Head. Axial slice.
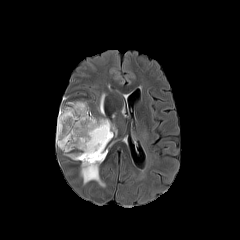
FLAIR MR.
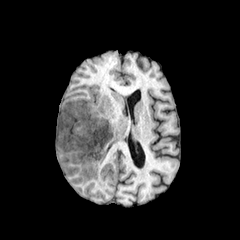
T1-weighted MR.
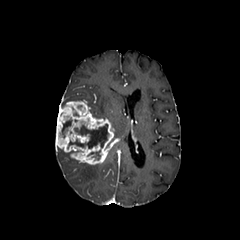
Post-contrast T1-weighted MR image.
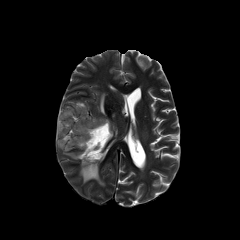
T2-weighted MR image.
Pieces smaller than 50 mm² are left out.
peritumoral edema: <box>80,163,105,187</box>, <box>112,113,117,136</box>, <box>98,93,105,116</box>
enhancing tumor: <box>56,99,114,164</box>
necrotic tumor core: <box>69,124,108,148</box>, <box>62,120,71,137</box>